240x240 px
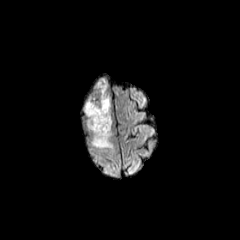
FLAIR MRI.
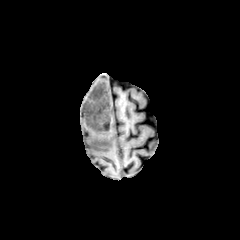
Same slice, T1-weighted MR image.
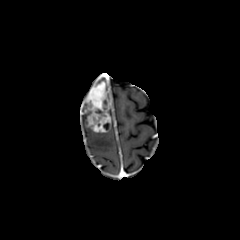
Post-contrast T1-weighted MR image.
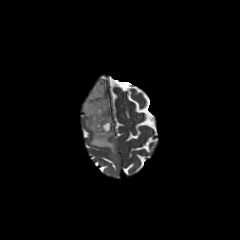
Same slice, T2-weighted magnetic resonance.
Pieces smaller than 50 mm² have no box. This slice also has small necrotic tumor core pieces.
peritumoral edema at box=[95, 79, 110, 100]; box=[85, 113, 113, 151]
enhancing tumor at box=[85, 82, 111, 133]